Brain
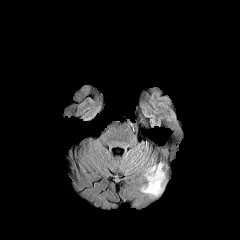
FLAIR magnetic resonance.
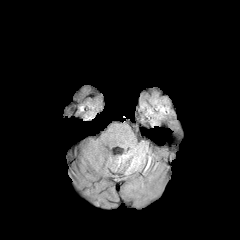
Same slice, T1-weighted MR.
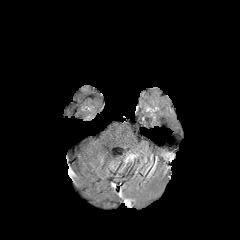
Same slice, post-contrast T1-weighted MR.
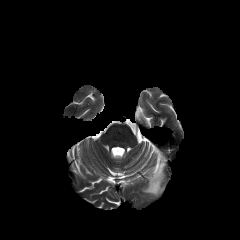
Same slice, T2-weighted MR.
peritumoral edema: l=141, t=163, r=164, b=195